FLAIR MR image.
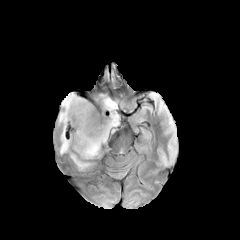
T1-weighted magnetic resonance.
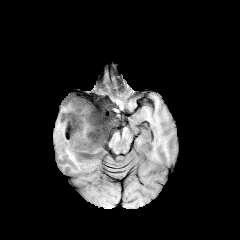
Post-contrast T1-weighted MR image.
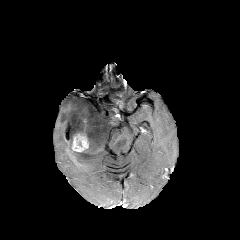
T2-weighted MR image.
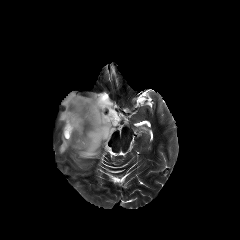
Axial slice; Head; Image size 240x240
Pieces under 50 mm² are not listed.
<segmentation>
  <necrotic_tumor_core>(x1=66, y1=125, x2=72, y2=139)</necrotic_tumor_core>
  <enhancing_tumor>(x1=65, y1=125, x2=88, y2=151)</enhancing_tumor>
  <peritumoral_edema>(x1=58, y1=92, x2=119, y2=169)</peritumoral_edema>
</segmentation>